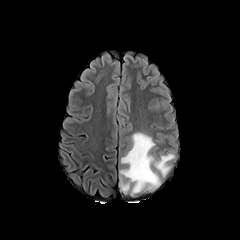
FLAIR MRI.
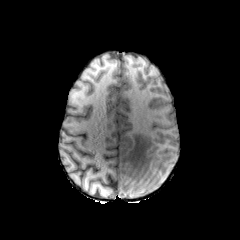
T1-weighted MR image of the same slice.
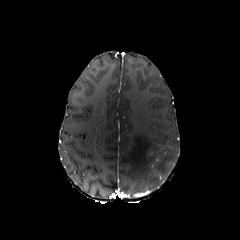
Post-contrast T1-weighted MR image.
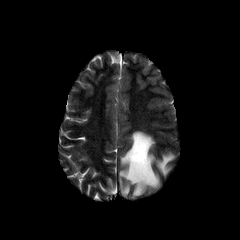
T2-weighted magnetic resonance of the same slice.
Axial plane | Head
peritumoral edema at <box>119,131,174,193</box>